FLAIR MRI.
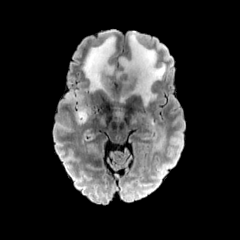
T1-weighted magnetic resonance.
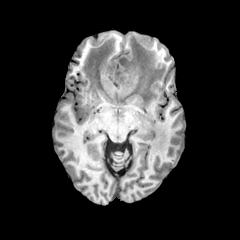
Post-contrast T1-weighted MR.
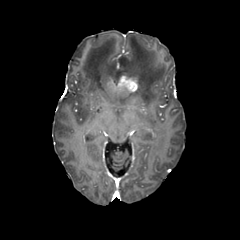
T2-weighted MR.
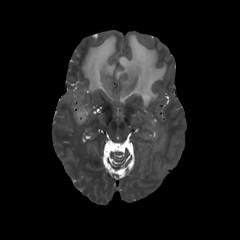
Brain, Image size 240x240, Axial slice
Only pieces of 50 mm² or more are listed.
4 peritumoral edema regions are located at region(62, 91, 90, 124); region(150, 119, 165, 157); region(82, 35, 115, 95); region(116, 32, 166, 105). The largest enhancing tumor region is located at region(117, 75, 138, 92).